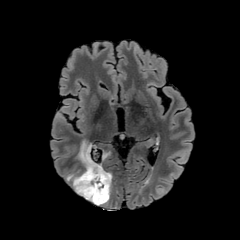
FLAIR MR.
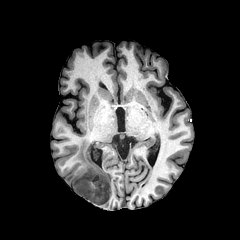
Same slice, T1-weighted MR image.
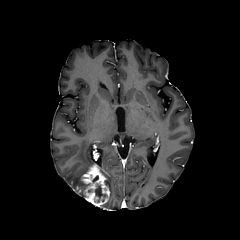
Same slice, post-contrast T1-weighted MR image.
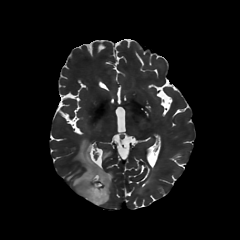
T2-weighted MR image of the same slice.
Head.
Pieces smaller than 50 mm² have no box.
The enhancing tumor lies within bbox=[76, 164, 109, 206]. The largest necrotic tumor core region appears at bbox=[95, 185, 106, 202]. 2 peritumoral edema regions are bounded by bbox=[102, 151, 110, 160]; bbox=[65, 140, 112, 207].